240x240 | Slice 61/155 | Axial plane
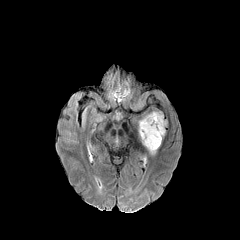
FLAIR magnetic resonance.
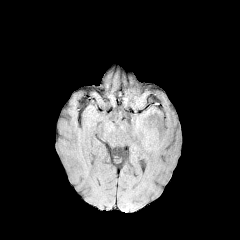
T1-weighted MRI.
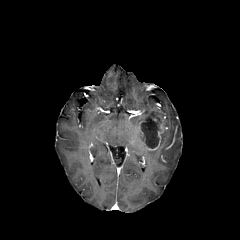
Post-contrast T1-weighted magnetic resonance of the same slice.
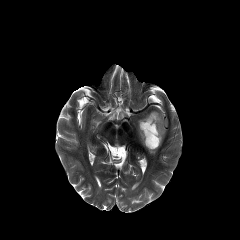
T2-weighted MR image.
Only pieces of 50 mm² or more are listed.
* necrotic tumor core: bbox=[141, 117, 161, 148]
* enhancing tumor: bbox=[141, 116, 165, 150]
* peritumoral edema: bbox=[139, 111, 163, 125]